FLAIR MR image.
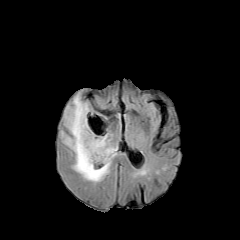
T1-weighted MRI.
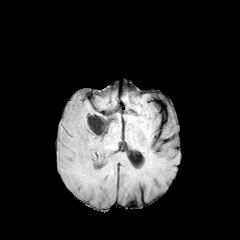
Post-contrast T1-weighted MR.
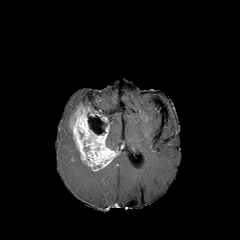
T2-weighted MR image.
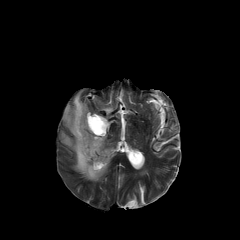
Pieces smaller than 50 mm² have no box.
necrotic tumor core: [87,112,106,134] | enhancing tumor: [69,104,117,171] | peritumoral edema: [63,92,88,135], [106,136,117,150], [61,131,110,182]